FLAIR MR image.
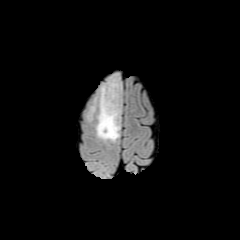
T1-weighted magnetic resonance.
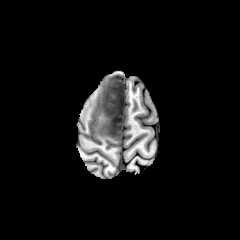
Post-contrast T1-weighted MRI.
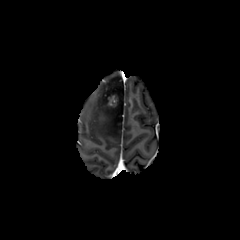
T2-weighted MR.
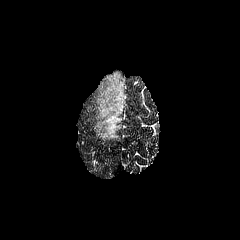
Image size 240x240
{
  "peritumoral_edema": [
    "(90, 74, 122, 141)"
  ],
  "enhancing_tumor": [
    "(108, 95, 117, 106)"
  ]
}